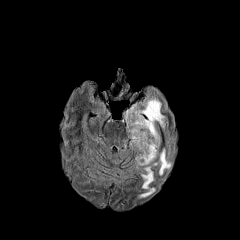
FLAIR MR.
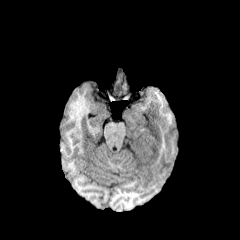
Same slice, T1-weighted MR.
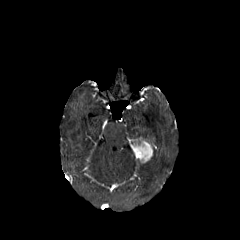
Post-contrast T1-weighted MR of the same slice.
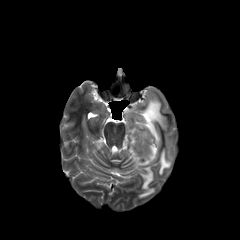
T2-weighted MRI.
Brain.
Annotated regions:
• peritumoral edema: bbox(136, 147, 171, 197); bbox(125, 98, 165, 147)
• enhancing tumor: bbox(130, 137, 156, 163)